Slice index 123
FLAIR MRI.
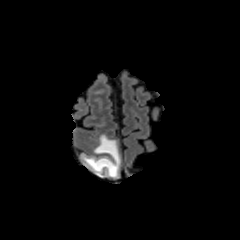
T1-weighted magnetic resonance.
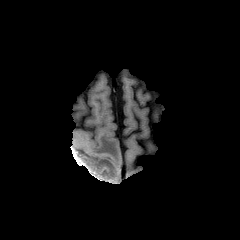
Post-contrast T1-weighted MRI.
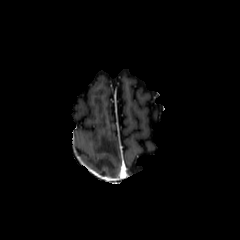
T2-weighted magnetic resonance.
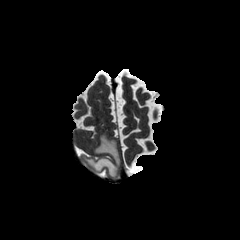
The peritumoral edema is located at {"x1": 82, "y1": 134, "x2": 120, "y2": 177}.